Image size 240x240. Slice 44 of 155. Head. Image covers 240 mm x 240 mm.
FLAIR MR.
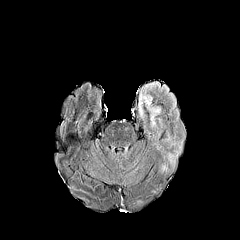
T1-weighted MR image.
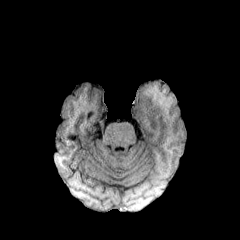
Post-contrast T1-weighted magnetic resonance.
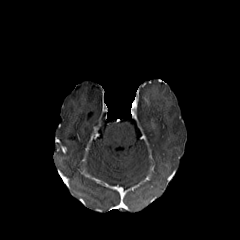
T2-weighted MR.
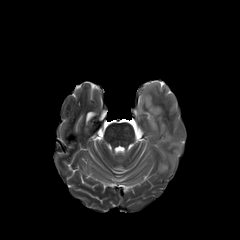
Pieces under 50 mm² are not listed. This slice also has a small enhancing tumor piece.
peritumoral_edema:
  - x1=166 y1=136 x2=181 y2=155
  - x1=138 y1=84 x2=160 y2=125
  - x1=167 y1=153 x2=175 y2=163